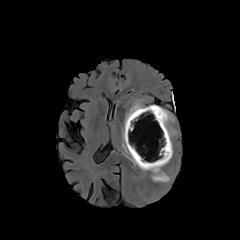
FLAIR MR image.
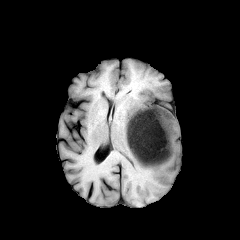
T1-weighted magnetic resonance of the same slice.
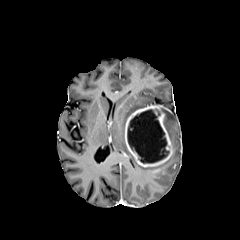
Same slice, post-contrast T1-weighted MR image.
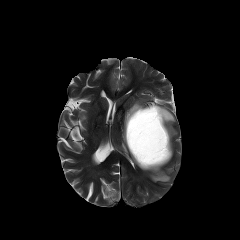
T2-weighted magnetic resonance of the same slice.
Head. Axial slice.
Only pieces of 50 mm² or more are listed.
enhancing tumor — [125, 105, 173, 172]
necrotic tumor core — [127, 109, 169, 163]
peritumoral edema — [122, 101, 171, 182], [162, 110, 176, 141]